Slice 99/155; Axial slice
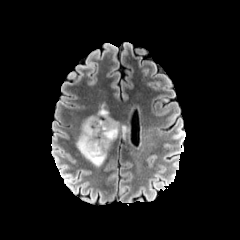
FLAIR MR.
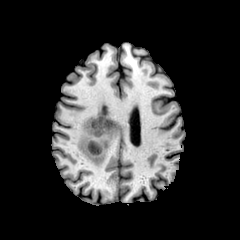
Same slice, T1-weighted MR image.
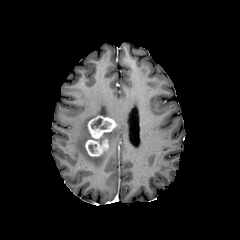
Post-contrast T1-weighted magnetic resonance.
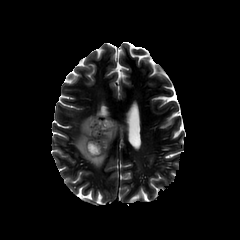
Same slice, T2-weighted MR.
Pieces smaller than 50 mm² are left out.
* peritumoral edema: [76, 116, 120, 166]
* enhancing tumor: [85, 139, 108, 156], [87, 116, 117, 139]
* necrotic tumor core: [91, 118, 102, 128]